FLAIR MRI.
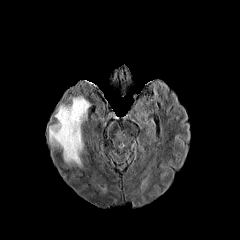
T1-weighted magnetic resonance.
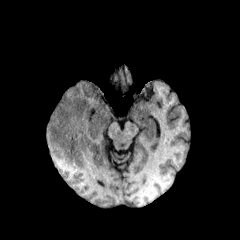
Post-contrast T1-weighted magnetic resonance.
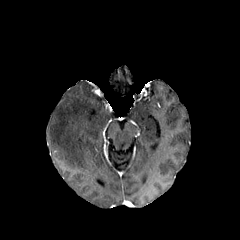
T2-weighted MR.
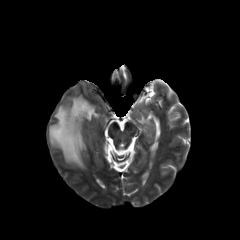
Axial plane. Brain.
{"peritumoral_edema": ["box=[49, 95, 90, 167]"]}